Slice index 81 | 240x240 px | Image width 240 mm | Axial slice
FLAIR magnetic resonance.
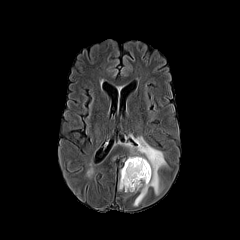
T1-weighted MRI.
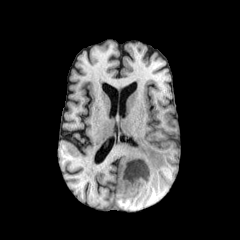
Post-contrast T1-weighted magnetic resonance.
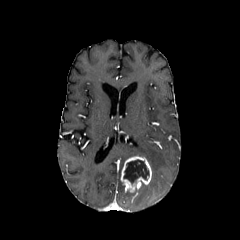
T2-weighted MRI.
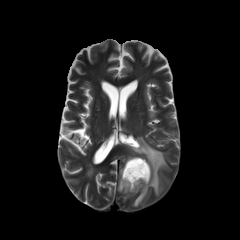
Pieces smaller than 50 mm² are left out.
The necrotic tumor core is at (123,159,149,183). The enhancing tumor appears at (120,156,151,192). The largest peritumoral edema region is bounded by (125,136,167,206).